Image width 240 mm. Slice 69/155. Image size 240x240.
FLAIR MRI.
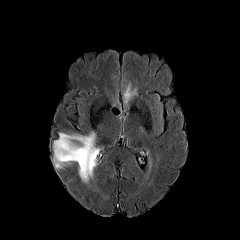
T1-weighted magnetic resonance.
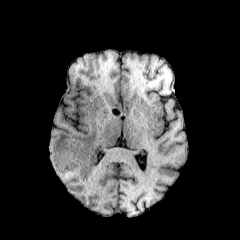
Post-contrast T1-weighted magnetic resonance.
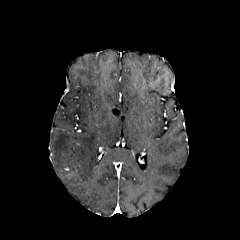
T2-weighted magnetic resonance.
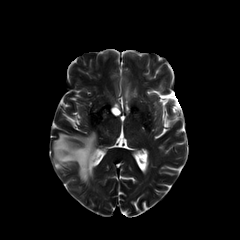
peritumoral edema = (x1=53, y1=132, x2=98, y2=182)